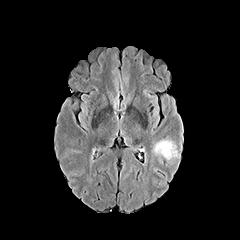
FLAIR MR image.
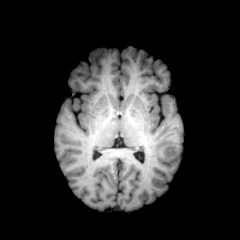
T1-weighted MR of the same slice.
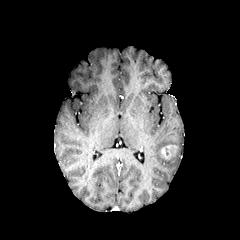
Same slice, post-contrast T1-weighted MRI.
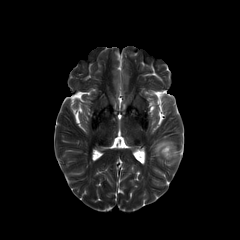
T2-weighted MRI.
Axial plane
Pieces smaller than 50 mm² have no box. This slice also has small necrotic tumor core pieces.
peritumoral_edema:
  - 154:141:172:156
enhancing_tumor:
  - 160:144:176:159